FLAIR MR.
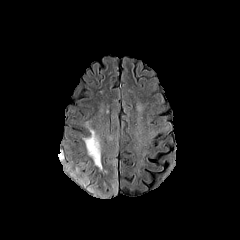
T1-weighted magnetic resonance.
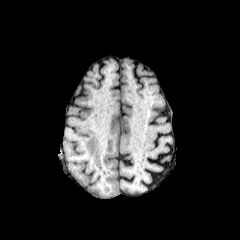
Post-contrast T1-weighted MR.
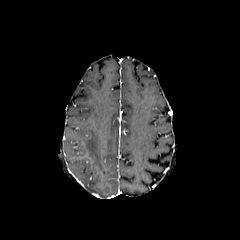
T2-weighted MRI.
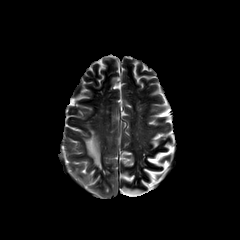
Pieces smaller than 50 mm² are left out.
The 4 largest peritumoral edema regions are located at (left=83, top=128, right=101, bottom=169), (left=112, top=179, right=117, bottom=192), (left=67, top=163, right=88, bottom=185), (left=90, top=186, right=110, bottom=196).